Image size 240x240. Axial slice. Image width 240 mm, 1.00 mm slice spacing. Brain.
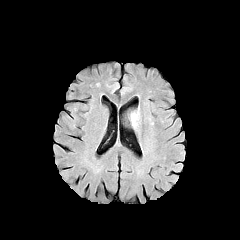
FLAIR MR.
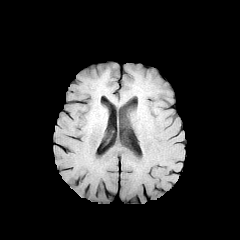
T1-weighted magnetic resonance.
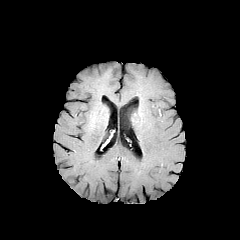
Post-contrast T1-weighted MR.
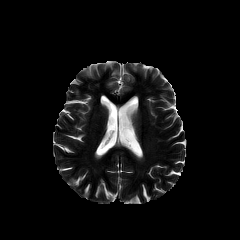
T2-weighted magnetic resonance.
peritumoral edema: <box>131,113,137,126</box>